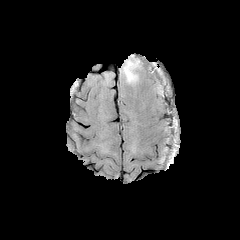
FLAIR MR.
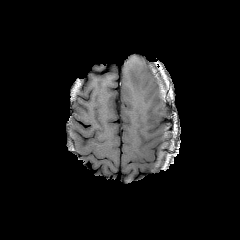
T1-weighted MR.
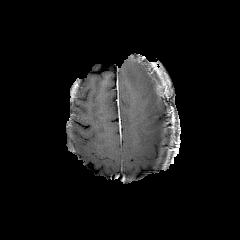
Same slice, post-contrast T1-weighted MR image.
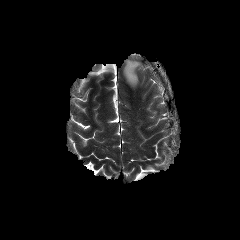
T2-weighted MR.
Image size 240x240, Axial view, Head
peritumoral_edema:
  - 123, 59, 141, 85